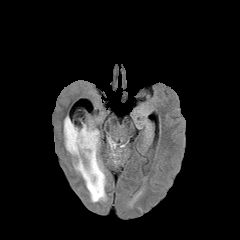
FLAIR magnetic resonance.
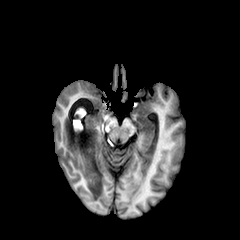
T1-weighted MR image.
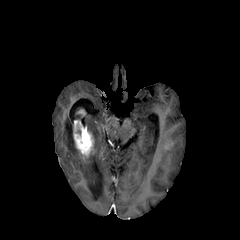
Post-contrast T1-weighted MRI of the same slice.
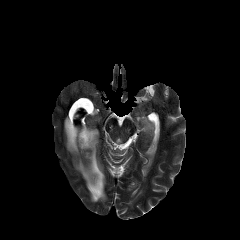
T2-weighted magnetic resonance.
Axial slice
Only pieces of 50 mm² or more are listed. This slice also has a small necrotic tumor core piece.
enhancing tumor = {"x1": 72, "y1": 126, "x2": 95, "y2": 159}
peritumoral edema = {"x1": 64, "y1": 116, "x2": 106, "y2": 202}